Axial plane | Brain | Image size 240x240 | Slice 108/155
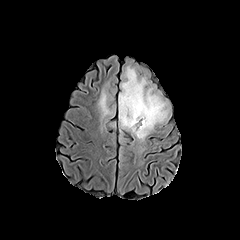
FLAIR MR.
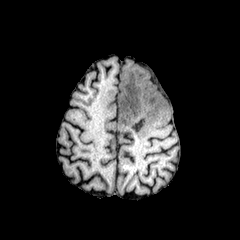
T1-weighted MRI.
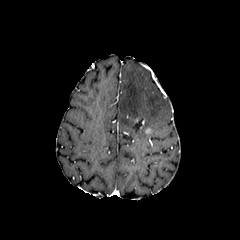
Post-contrast T1-weighted MR.
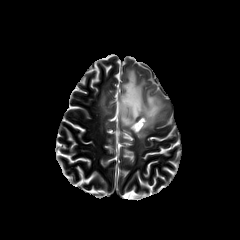
Same slice, T2-weighted MRI.
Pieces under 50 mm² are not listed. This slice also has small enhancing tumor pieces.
Findings:
• peritumoral edema: [x1=98, y1=90, x2=111, y2=116], [x1=119, y1=67, x2=167, y2=140]
• necrotic tumor core: [x1=125, y1=87, x2=137, y2=115], [x1=133, y1=118, x2=146, y2=132]